FLAIR MRI.
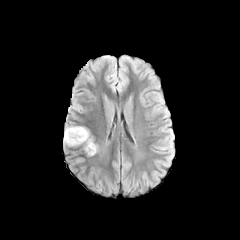
T1-weighted MR image.
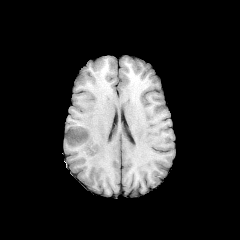
Post-contrast T1-weighted magnetic resonance.
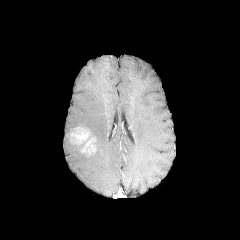
T2-weighted MRI.
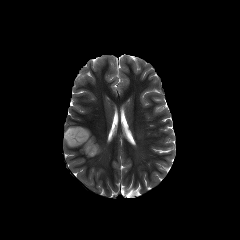
Axial plane
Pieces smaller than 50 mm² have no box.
enhancing tumor — 66, 127, 96, 155
peritumoral edema — 64, 126, 81, 146